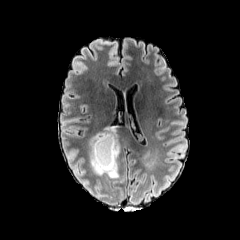
FLAIR magnetic resonance.
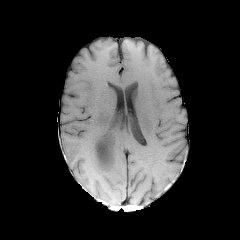
T1-weighted MR image.
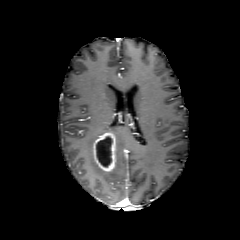
Post-contrast T1-weighted MR image.
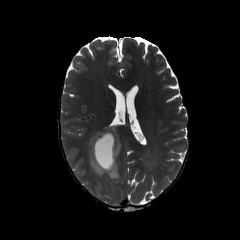
T2-weighted magnetic resonance.
Axial plane
enhancing tumor: bounding box {"x1": 93, "y1": 131, "x2": 115, "y2": 171}
necrotic tumor core: bounding box {"x1": 96, "y1": 136, "x2": 112, "y2": 166}
peritumoral edema: bounding box {"x1": 90, "y1": 127, "x2": 120, "y2": 179}